FLAIR MR.
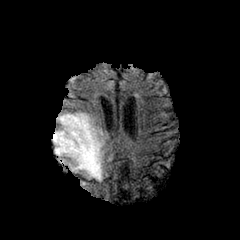
T1-weighted magnetic resonance.
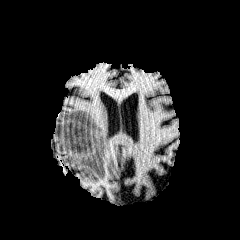
Post-contrast T1-weighted magnetic resonance.
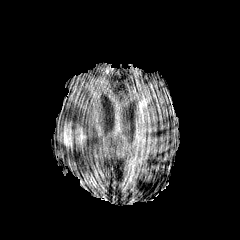
T2-weighted magnetic resonance.
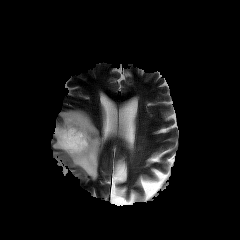
Axial slice
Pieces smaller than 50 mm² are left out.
Annotated regions:
• enhancing tumor: (x1=57, y1=121, x2=87, y2=153)
• peritumoral edema: (x1=52, y1=110, x2=101, y2=180)